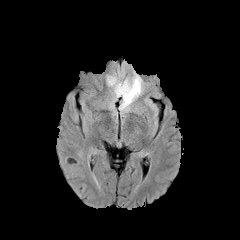
FLAIR MR.
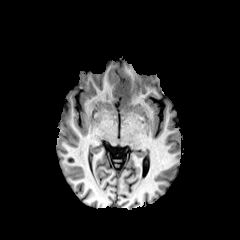
T1-weighted MRI.
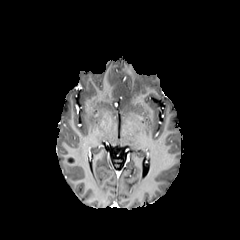
Post-contrast T1-weighted MR.
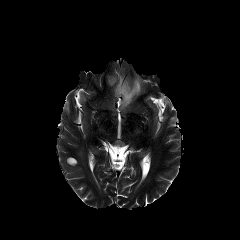
T2-weighted magnetic resonance.
Axial view, Brain
Findings:
• peritumoral edema: [107, 71, 142, 110]